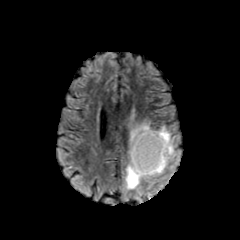
FLAIR MRI.
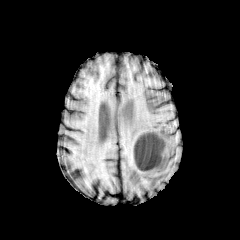
Same slice, T1-weighted MRI.
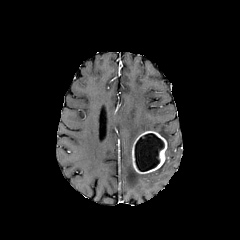
Post-contrast T1-weighted MR image.
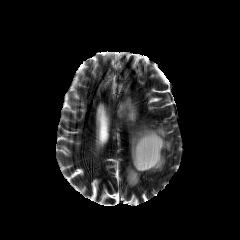
T2-weighted magnetic resonance of the same slice.
necrotic_tumor_core:
  - 135 133 164 171
enhancing_tumor:
  - 131 130 167 173
peritumoral_edema:
  - 125 122 174 189